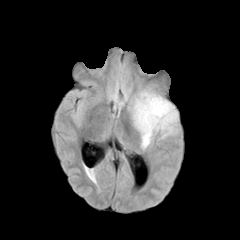
FLAIR MRI.
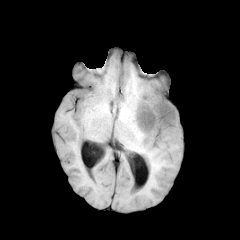
Same slice, T1-weighted MR.
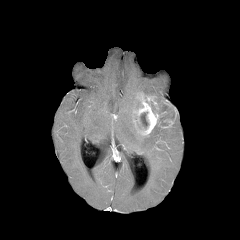
Post-contrast T1-weighted MRI.
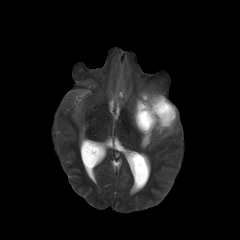
Same slice, T2-weighted MR.
Head
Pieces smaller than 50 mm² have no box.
2 peritumoral edema regions appear at [141,114,177,148], [132,90,162,131]. The enhancing tumor is at [134,94,177,135]. The 3 largest necrotic tumor core regions appear at [160,111,174,120], [140,113,148,127], [160,105,170,111].